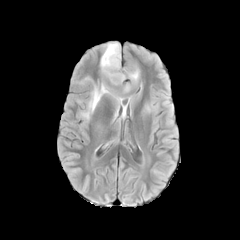
FLAIR MRI.
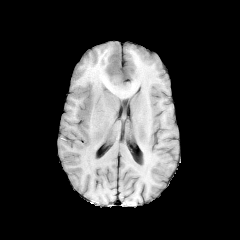
T1-weighted MR.
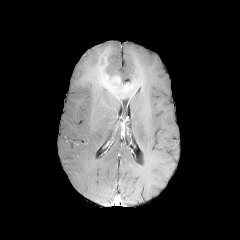
Same slice, post-contrast T1-weighted MR image.
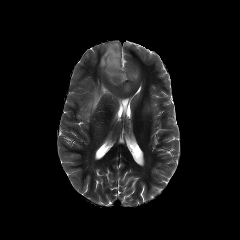
T2-weighted MRI of the same slice.
Head
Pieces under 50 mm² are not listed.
peritumoral edema: region(81, 42, 139, 120); region(141, 101, 151, 116)
enhancing tumor: region(106, 75, 120, 84)